Axial plane, Slice index 33
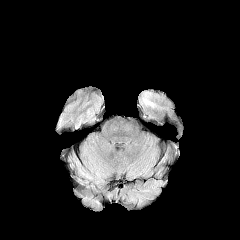
FLAIR magnetic resonance.
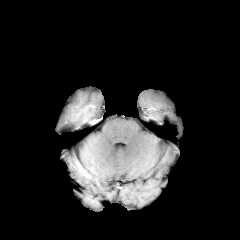
Same slice, T1-weighted MR.
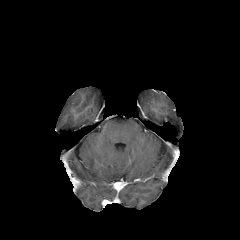
Post-contrast T1-weighted magnetic resonance.
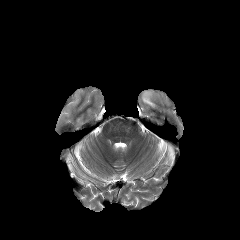
Same slice, T2-weighted MR.
peritumoral edema: [x1=142, y1=92, x2=155, y2=107]